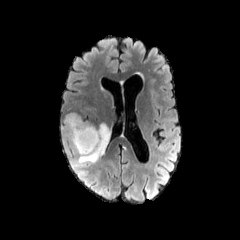
FLAIR magnetic resonance.
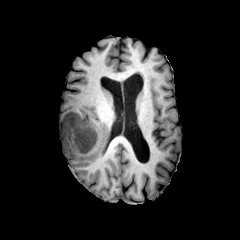
Same slice, T1-weighted MRI.
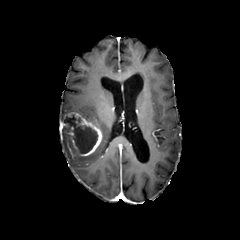
Post-contrast T1-weighted MR.
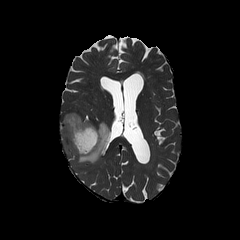
T2-weighted MR image.
Head
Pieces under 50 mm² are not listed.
* peritumoral edema: x1=62, y1=122, x2=112, y2=167
* enhancing tumor: x1=60, y1=112, x2=102, y2=156
* necrotic tumor core: x1=64, y1=114, x2=97, y2=153